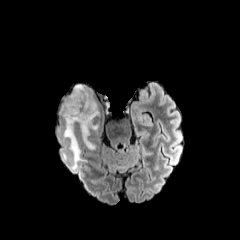
FLAIR MRI.
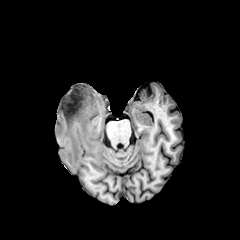
Same slice, T1-weighted MRI.
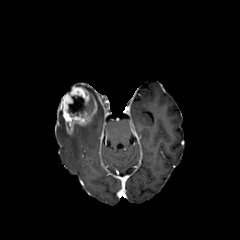
Post-contrast T1-weighted MRI.
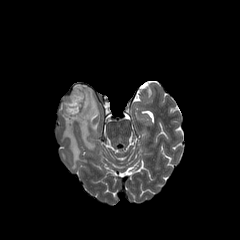
T2-weighted MR of the same slice.
Brain
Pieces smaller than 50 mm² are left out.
Segmented structures:
• necrotic tumor core: left=68, top=96, right=93, bottom=115
• peritumoral edema: left=61, top=125, right=85, bottom=169; left=80, top=122, right=97, bottom=149
• enhancing tumor: left=59, top=86, right=97, bottom=135